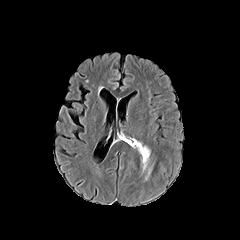
FLAIR MR image.
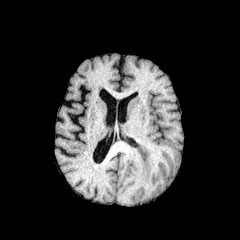
T1-weighted magnetic resonance.
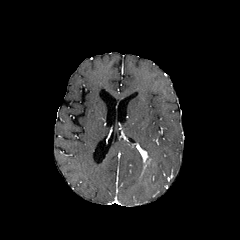
Post-contrast T1-weighted MR image of the same slice.
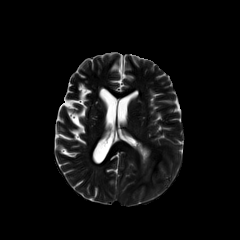
T2-weighted MR image.
Axial slice; Brain; 240x240
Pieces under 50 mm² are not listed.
peritumoral edema = bbox(135, 140, 150, 156)
enhancing tumor = bbox(138, 147, 148, 163)